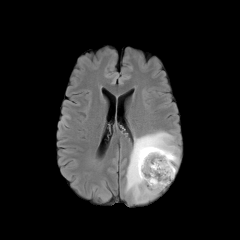
FLAIR magnetic resonance.
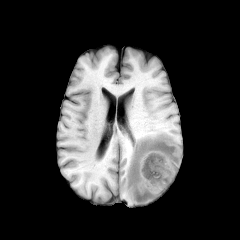
T1-weighted MRI of the same slice.
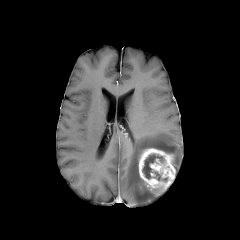
Post-contrast T1-weighted MR image of the same slice.
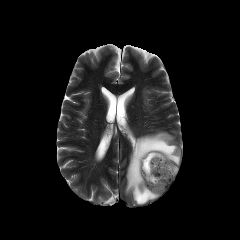
T2-weighted MRI of the same slice.
Head
Segmented structures:
* necrotic tumor core: [142, 154, 163, 178], [154, 172, 167, 181]
* enhancing tumor: [138, 148, 175, 190]
* peritumoral edema: [125, 131, 180, 206]